Axial slice | Slice index 87 | Brain | 240x240
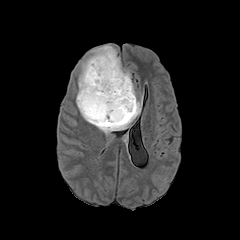
FLAIR magnetic resonance.
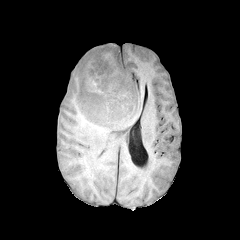
T1-weighted MRI of the same slice.
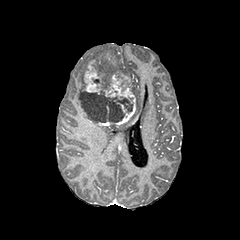
Same slice, post-contrast T1-weighted MR.
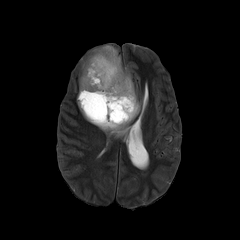
Same slice, T2-weighted MR.
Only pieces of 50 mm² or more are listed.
enhancing tumor — 82, 54, 135, 126
necrotic tumor core — 118, 98, 131, 111; 79, 90, 125, 122
peritumoral edema — 76, 44, 141, 134; 94, 59, 115, 86